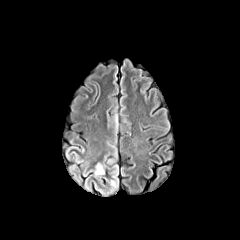
FLAIR MR image.
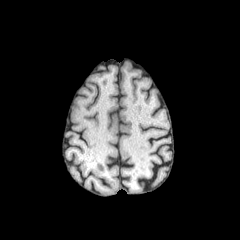
T1-weighted MR.
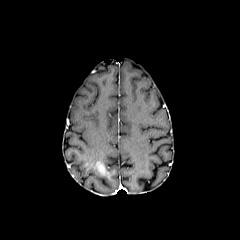
Post-contrast T1-weighted MR image.
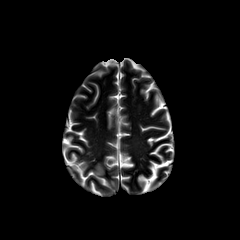
T2-weighted magnetic resonance.
Brain
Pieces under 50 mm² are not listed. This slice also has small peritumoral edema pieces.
• enhancing tumor: (97, 162, 105, 174)